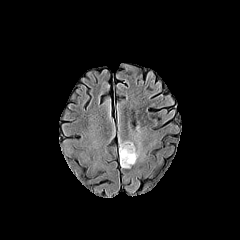
FLAIR magnetic resonance.
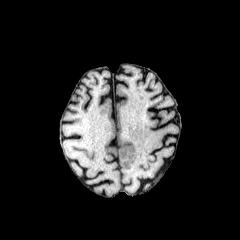
Same slice, T1-weighted magnetic resonance.
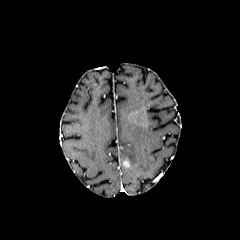
Post-contrast T1-weighted MR of the same slice.
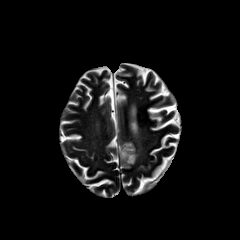
T2-weighted MR.
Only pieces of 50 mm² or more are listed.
The largest peritumoral edema region lies within [119, 142, 138, 167]. The enhancing tumor is at [122, 159, 129, 167].